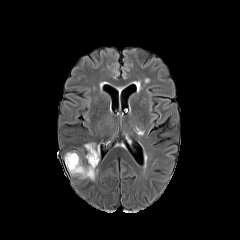
FLAIR MR.
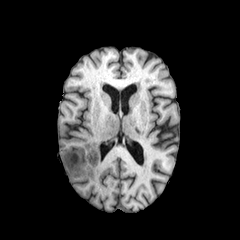
T1-weighted magnetic resonance of the same slice.
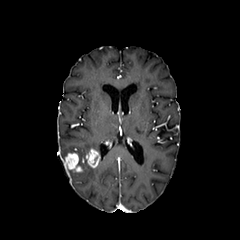
Post-contrast T1-weighted MR image.
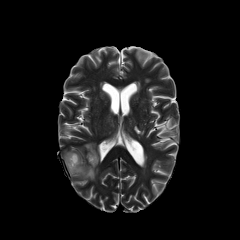
T2-weighted MR.
Brain; Axial plane
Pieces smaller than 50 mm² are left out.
2 enhancing tumor regions are bounded by [x1=65, y1=153, x2=82, y2=172], [x1=86, y1=148, x2=99, y2=168]. The 2 largest peritumoral edema regions are bounded by [x1=69, y1=156, x2=97, y2=180], [x1=84, y1=143, x2=95, y2=151].